Head. Image size 240x240.
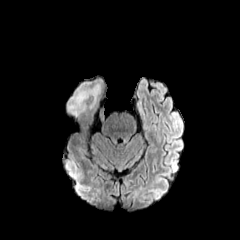
FLAIR MR image.
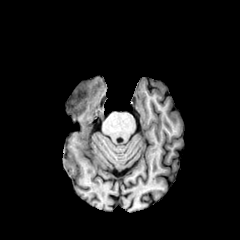
T1-weighted MR of the same slice.
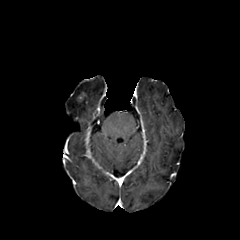
Post-contrast T1-weighted magnetic resonance of the same slice.
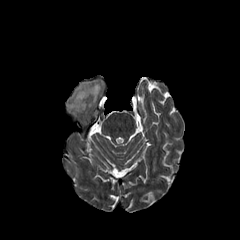
T2-weighted MR.
{
  "enhancing_tumor": [
    "region(76, 92, 86, 102)"
  ],
  "peritumoral_edema": [
    "region(67, 79, 102, 115)"
  ]
}